Image covers 240 mm x 240 mm; 240x240; Axial slice; Brain
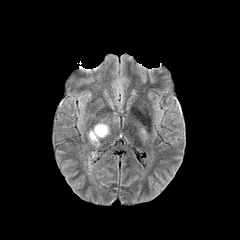
FLAIR MRI.
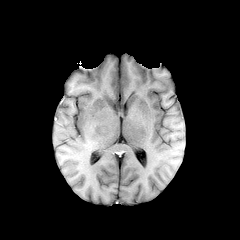
T1-weighted MR image.
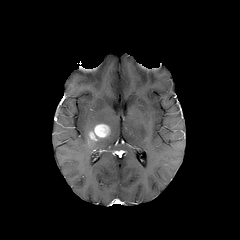
Post-contrast T1-weighted MRI.
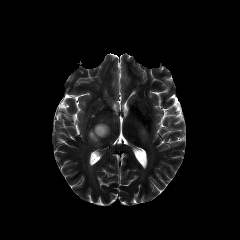
T2-weighted magnetic resonance.
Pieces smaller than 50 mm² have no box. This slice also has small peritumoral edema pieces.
enhancing tumor = rect(89, 124, 109, 140)